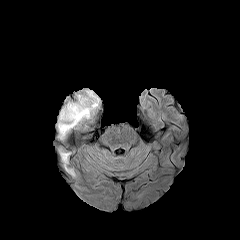
FLAIR MRI.
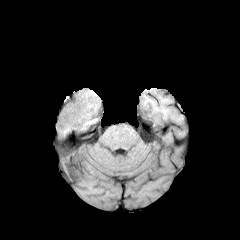
T1-weighted magnetic resonance.
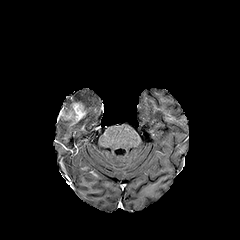
Post-contrast T1-weighted MR image of the same slice.
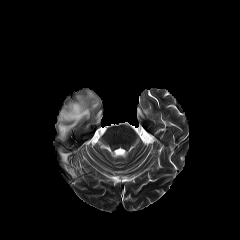
T2-weighted MR.
240x240 px; Brain
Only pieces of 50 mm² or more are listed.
* enhancing tumor: (58,102,86,125)
* peritumoral edema: (61,153,74,175), (58,92,99,139)